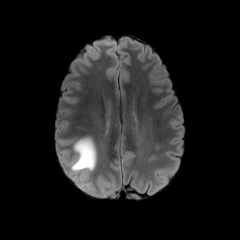
FLAIR MR image.
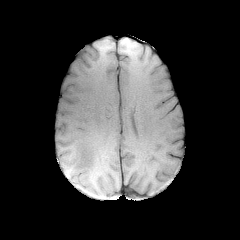
T1-weighted MRI of the same slice.
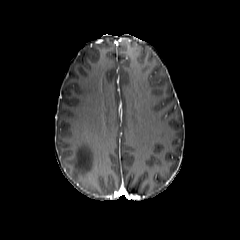
Post-contrast T1-weighted magnetic resonance.
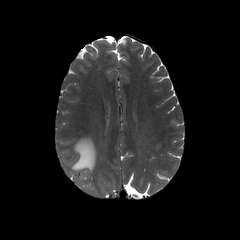
T2-weighted MR image.
Axial plane. Head.
{"peritumoral_edema": ["l=69, t=136, r=96, b=172"]}